Brain. Image width 240 mm.
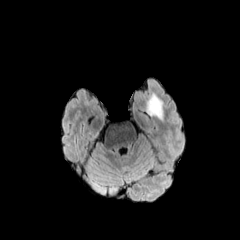
FLAIR magnetic resonance.
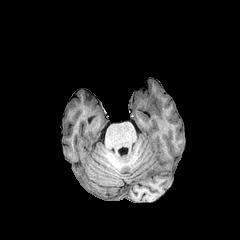
T1-weighted magnetic resonance.
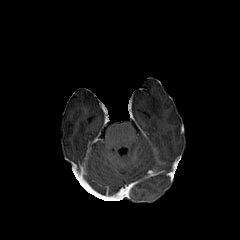
Post-contrast T1-weighted MR image of the same slice.
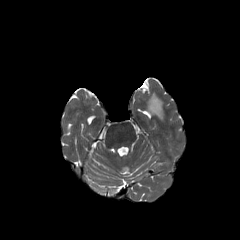
Same slice, T2-weighted MR image.
The peritumoral edema is bounded by rect(147, 94, 162, 120).